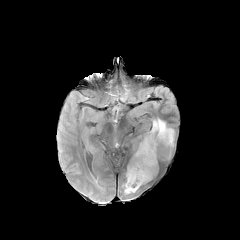
FLAIR MR image.
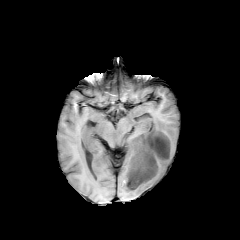
T1-weighted MR image of the same slice.
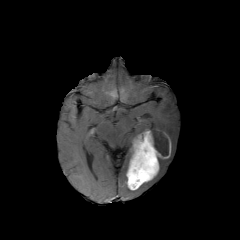
Post-contrast T1-weighted MR.
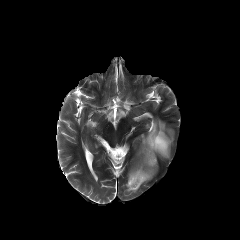
T2-weighted magnetic resonance of the same slice.
Brain, Axial view
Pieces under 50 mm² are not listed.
necrotic tumor core: 151:130:169:156 | enhancing tumor: 127:130:168:190 | peritumoral edema: 152:119:174:145, 124:183:136:193